Slice 87/155 | Head | Image size 240x240
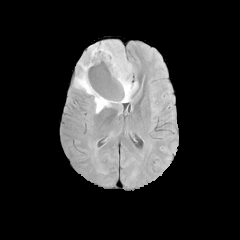
FLAIR MR image.
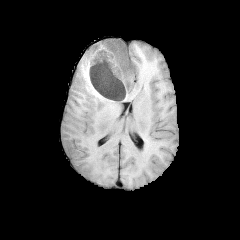
Same slice, T1-weighted MR image.
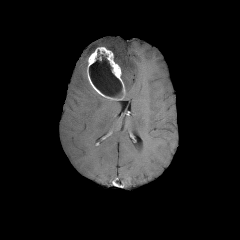
Same slice, post-contrast T1-weighted MR image.
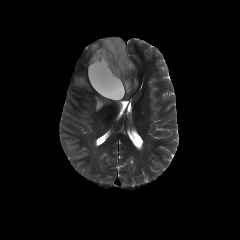
Same slice, T2-weighted MR.
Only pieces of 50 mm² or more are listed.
The largest enhancing tumor region is located at region(87, 47, 126, 100). The peritumoral edema is bounded by region(74, 40, 139, 115). The necrotic tumor core appears at region(89, 50, 122, 98).